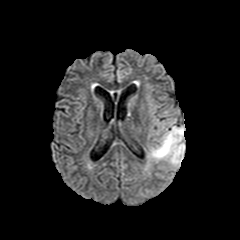
FLAIR magnetic resonance.
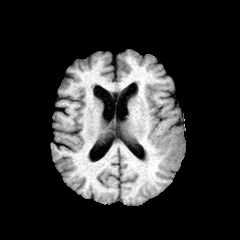
T1-weighted MRI of the same slice.
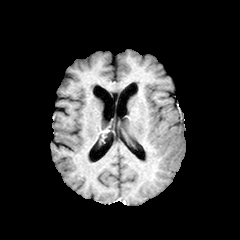
Post-contrast T1-weighted MRI of the same slice.
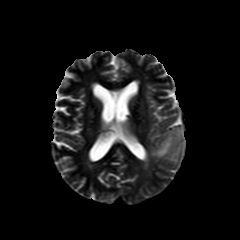
T2-weighted MR image of the same slice.
Axial view. 240x240.
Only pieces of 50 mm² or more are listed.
<segmentation>
  <peritumoral_edema>box=[150, 126, 185, 167]</peritumoral_edema>
</segmentation>